Slice 86/155; Brain
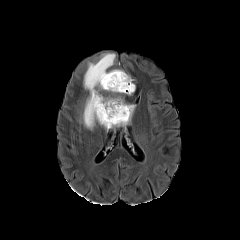
FLAIR MR.
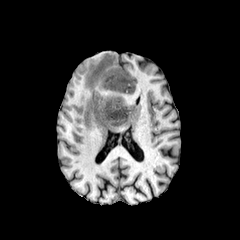
Same slice, T1-weighted MR image.
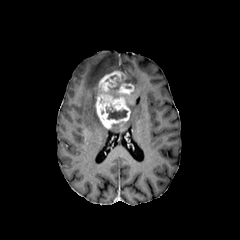
Post-contrast T1-weighted magnetic resonance.
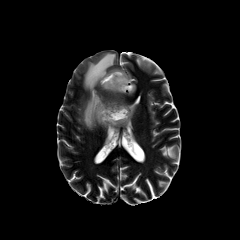
T2-weighted MR image of the same slice.
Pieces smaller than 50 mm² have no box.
The 2 largest necrotic tumor core regions appear at 110 82 120 97, 107 110 127 119. The enhancing tumor lies within 95 70 134 128. The 2 largest peritumoral edema regions are located at 123 105 135 125, 83 53 115 129.